FLAIR MRI.
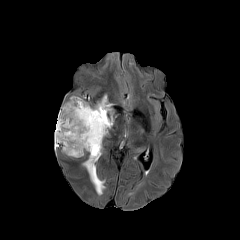
T1-weighted magnetic resonance.
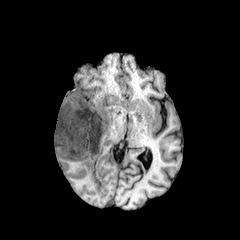
Post-contrast T1-weighted magnetic resonance.
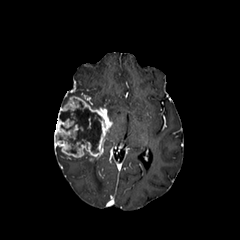
T2-weighted MRI.
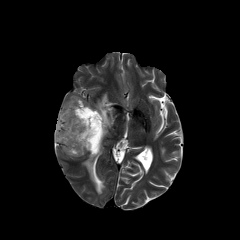
Brain.
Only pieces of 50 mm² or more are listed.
The largest necrotic tumor core region appears at x1=60, y1=108, x2=101, y2=152. The 3 largest peritumoral edema regions are bounded by x1=82, y1=155, x2=105, y2=195; x1=61, y1=88, x2=80, y2=106; x1=94, y1=94, x2=113, y2=123. The largest enhancing tumor region appears at x1=54, y1=96, x2=112, y2=161.